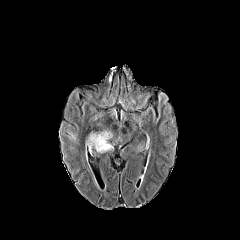
FLAIR MR.
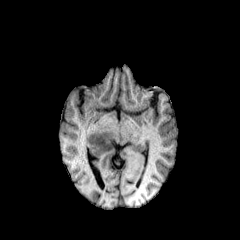
T1-weighted magnetic resonance.
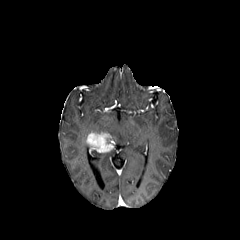
Post-contrast T1-weighted MR of the same slice.
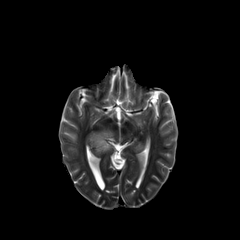
T2-weighted magnetic resonance of the same slice.
Head; Image size 240x240
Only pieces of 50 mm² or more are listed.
Segmented structures:
- peritumoral edema: bbox=[68, 131, 77, 143]
- enhancing tumor: bbox=[86, 132, 114, 152]